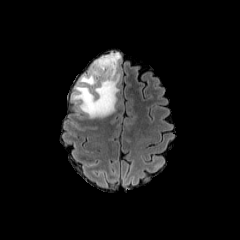
FLAIR MR image.
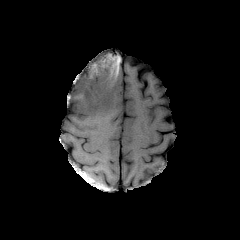
T1-weighted MRI.
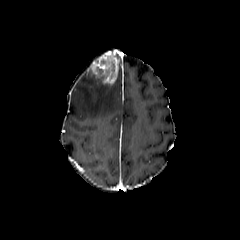
Post-contrast T1-weighted MR image.
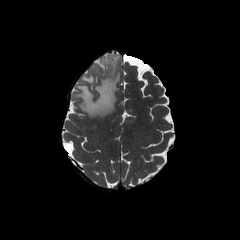
T2-weighted MR.
Brain; 240x240
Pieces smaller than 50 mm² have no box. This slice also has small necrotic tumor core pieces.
enhancing_tumor:
  - box=[88, 53, 119, 85]
peritumoral_edema:
  - box=[73, 66, 120, 118]